FLAIR MR.
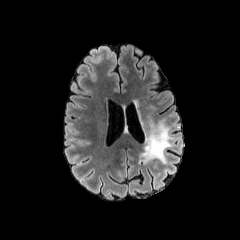
T1-weighted MR.
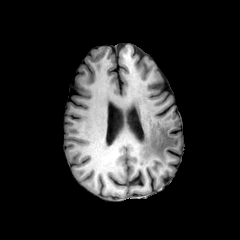
Post-contrast T1-weighted MRI.
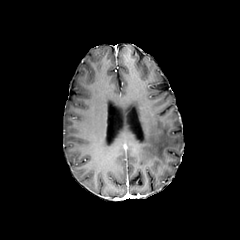
T2-weighted MR.
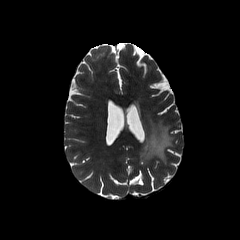
Axial plane, Brain
peritumoral_edema:
  - <box>140,120,174,162</box>